Axial plane; Image covers 240 mm x 240 mm; 240x240 px; Brain
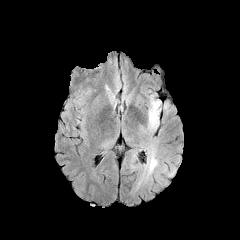
FLAIR magnetic resonance.
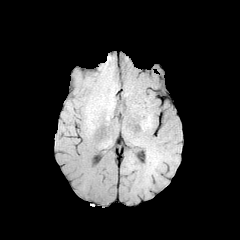
T1-weighted MR of the same slice.
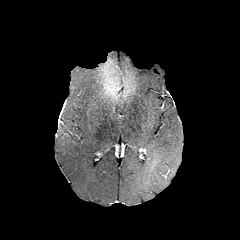
Post-contrast T1-weighted MR.
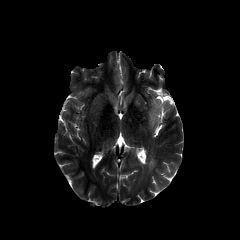
Same slice, T2-weighted magnetic resonance.
2 peritumoral edema regions are located at (99, 137, 115, 148), (123, 91, 182, 189).